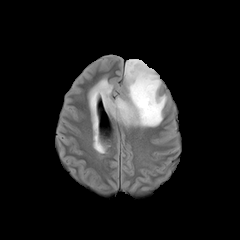
FLAIR MR.
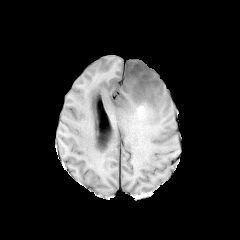
T1-weighted magnetic resonance.
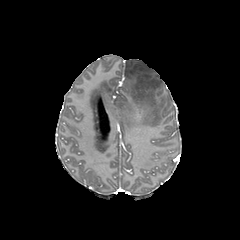
Post-contrast T1-weighted MR.
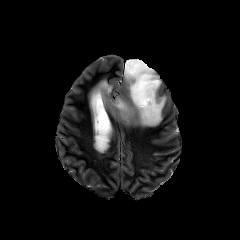
T2-weighted magnetic resonance.
Brain; Image size 240x240; Axial plane
peritumoral edema: l=89, t=59, r=166, b=126